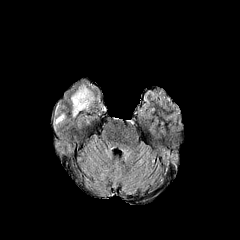
FLAIR MR.
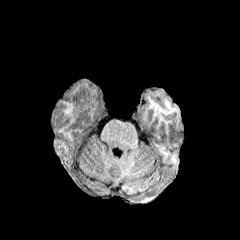
Same slice, T1-weighted MR.
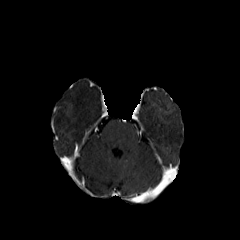
Post-contrast T1-weighted MRI of the same slice.
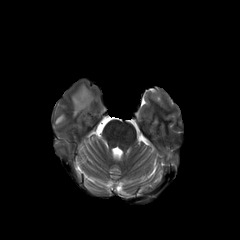
T2-weighted MR.
peritumoral edema — [71,85,93,116], [54,114,64,124]